Slice 129/155. Axial slice.
FLAIR MRI.
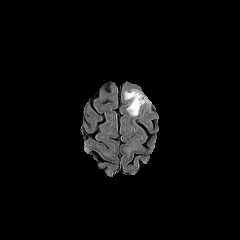
T1-weighted MR.
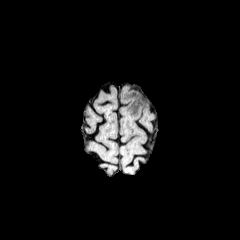
Post-contrast T1-weighted magnetic resonance.
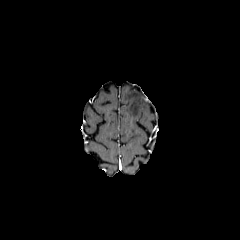
T2-weighted MRI.
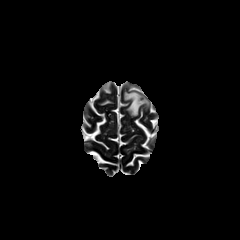
The peritumoral edema lies within l=124, t=89, r=148, b=116.